Brain
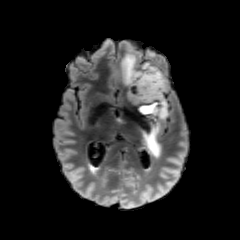
FLAIR magnetic resonance.
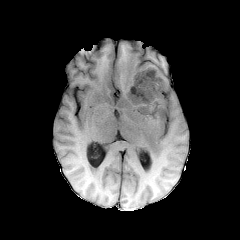
T1-weighted MR.
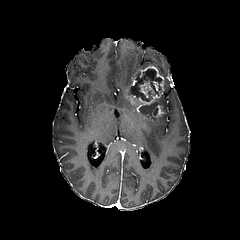
Post-contrast T1-weighted MR.
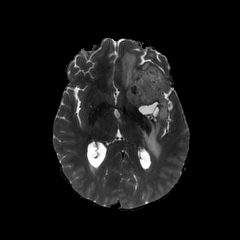
T2-weighted MR image of the same slice.
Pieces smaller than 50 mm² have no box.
enhancing tumor — rect(127, 66, 165, 117); rect(139, 81, 154, 97)
necrotic tumor core — rect(131, 69, 161, 101); rect(139, 104, 155, 113)
peritumoral edema — rect(142, 96, 167, 157); rect(122, 52, 153, 86)